240x240 | Slice index 105 | Image covers 240 mm x 240 mm | Brain
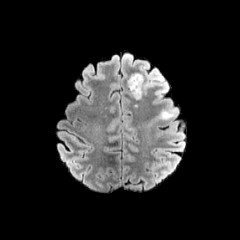
FLAIR MR image.
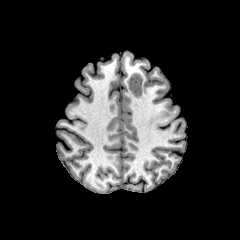
T1-weighted MRI.
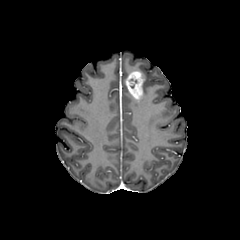
Post-contrast T1-weighted MR image of the same slice.
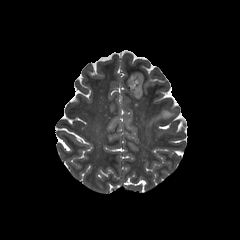
Same slice, T2-weighted magnetic resonance.
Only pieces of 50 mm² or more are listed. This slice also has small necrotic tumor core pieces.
peritumoral edema at [148, 111, 171, 127], [142, 74, 152, 92]
enhancing tumor at [126, 72, 143, 99]